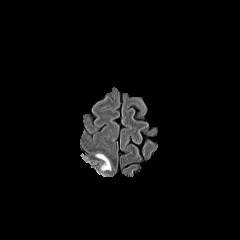
FLAIR MR image.
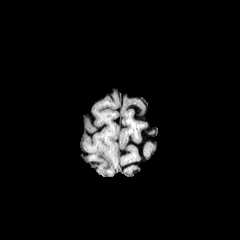
T1-weighted MR.
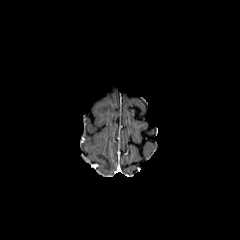
Post-contrast T1-weighted MR.
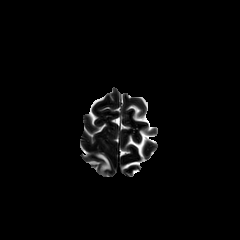
T2-weighted MR image of the same slice.
240x240, Head
Annotated regions:
- peritumoral edema: 96, 154, 110, 170